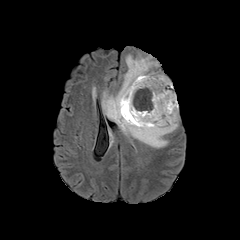
FLAIR MR image.
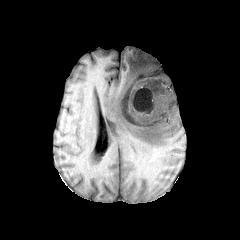
T1-weighted MRI of the same slice.
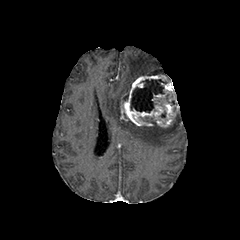
Post-contrast T1-weighted MR image.
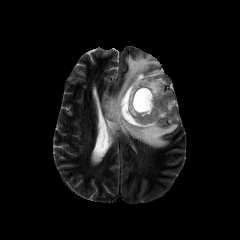
T2-weighted MR image of the same slice.
Brain
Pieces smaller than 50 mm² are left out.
The largest necrotic tumor core region appears at [x1=130, y1=79, x2=167, y2=112]. The largest enhancing tumor region lies within [x1=120, y1=74, x2=178, y2=127]. The largest peritumoral edema region appears at [x1=102, y1=54, x2=179, y2=148].